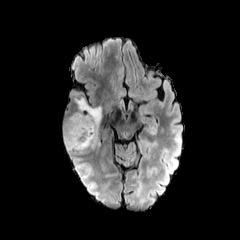
FLAIR magnetic resonance.
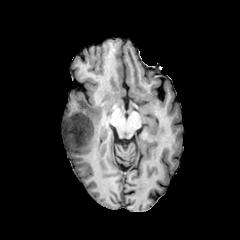
T1-weighted MRI.
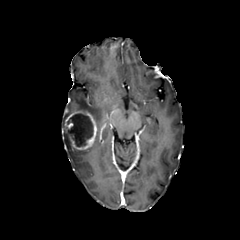
Post-contrast T1-weighted magnetic resonance of the same slice.
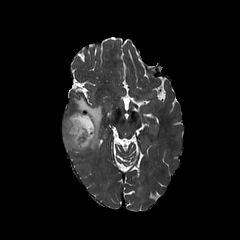
Same slice, T2-weighted MRI.
Head.
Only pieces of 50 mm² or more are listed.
The largest enhancing tumor region is at (62,110,97,150). The 2 largest peritumoral edema regions are bounded by (63,133,85,153), (74,97,103,150). The necrotic tumor core appears at (67,113,93,146).